FLAIR MR.
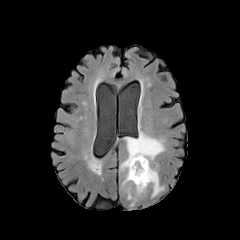
T1-weighted MR.
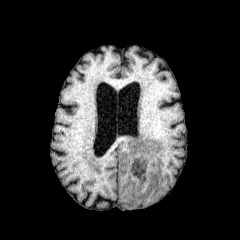
Post-contrast T1-weighted magnetic resonance.
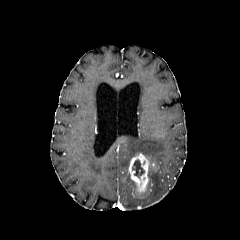
T2-weighted MR image.
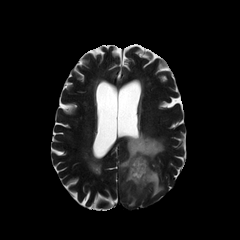
Brain
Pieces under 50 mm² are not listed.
• enhancing tumor: (128,153,149,194)
• peritumoral edema: (148,166,164,197), (120,132,164,169), (122,173,135,185), (127,187,136,206)
• necrotic tumor core: (132,160,144,178)